Slice 69/155, Axial slice, Image width 240 mm, 1.00 mm slice spacing
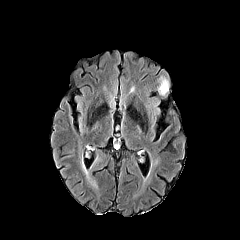
FLAIR magnetic resonance.
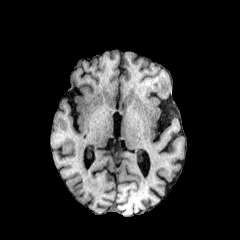
T1-weighted magnetic resonance of the same slice.
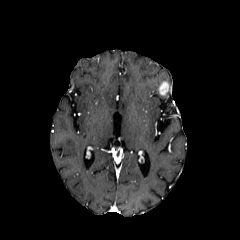
Same slice, post-contrast T1-weighted MR.
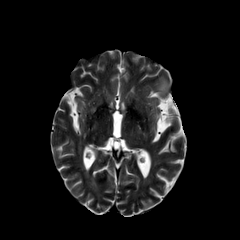
T2-weighted magnetic resonance of the same slice.
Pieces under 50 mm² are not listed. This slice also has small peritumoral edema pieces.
<segmentation>
  <enhancing_tumor>rect(158, 81, 169, 95)</enhancing_tumor>
</segmentation>